FLAIR MR image.
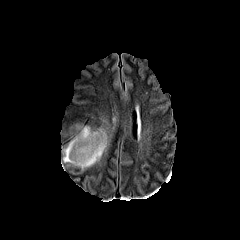
T1-weighted MRI.
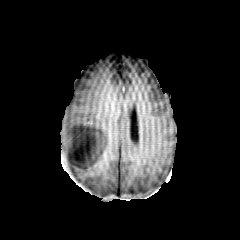
Post-contrast T1-weighted MRI.
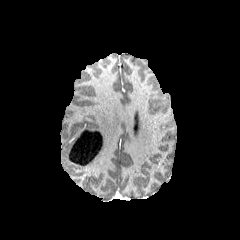
T2-weighted magnetic resonance.
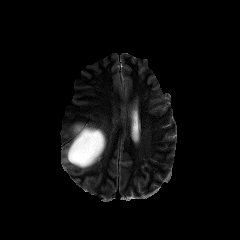
240x240.
{"necrotic_tumor_core": ["68 130 102 165"], "peritumoral_edema": ["62 124 109 170"]}